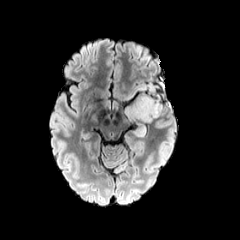
FLAIR MR.
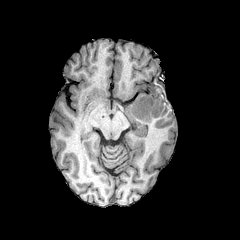
T1-weighted MR of the same slice.
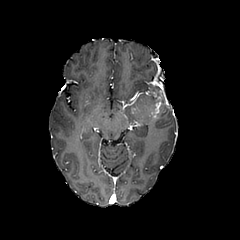
Post-contrast T1-weighted MR image of the same slice.
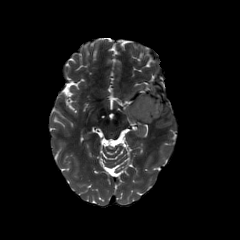
Same slice, T2-weighted MRI.
Axial slice.
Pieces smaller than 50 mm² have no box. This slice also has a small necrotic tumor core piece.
{"enhancing_tumor": ["l=132, t=95, r=162, b=118"], "peritumoral_edema": ["l=124, t=95, r=153, b=123", "l=134, t=125, r=146, b=136"]}